240x240 px | Slice index 38
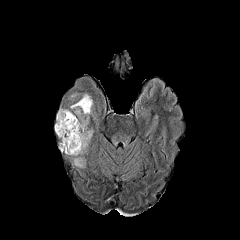
FLAIR MRI.
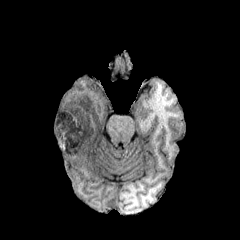
Same slice, T1-weighted MR.
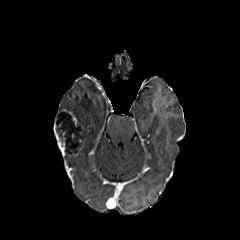
Post-contrast T1-weighted MR image.
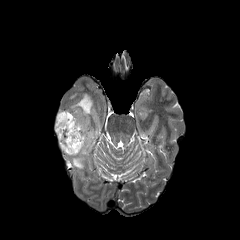
Same slice, T2-weighted magnetic resonance.
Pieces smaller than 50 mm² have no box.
necrotic tumor core: bounding box x1=56, y1=112, x2=86, y2=153
enhancing tumor: bounding box x1=54, y1=125, x2=64, y2=152; x1=68, y1=111, x2=77, y2=125
peritumoral edema: bounding box x1=73, y1=158, x2=84, y2=167; x1=87, y1=128, x2=92, y2=141; x1=70, y1=94, x2=92, y2=126